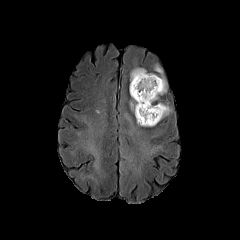
FLAIR magnetic resonance.
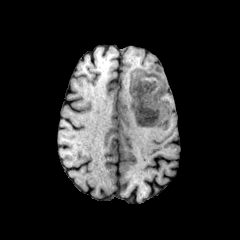
T1-weighted MR image of the same slice.
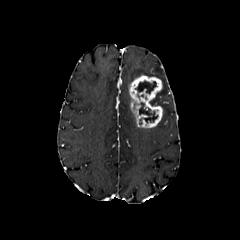
Post-contrast T1-weighted MR image of the same slice.
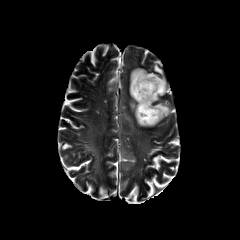
T2-weighted MR of the same slice.
Head, Image size 240x240
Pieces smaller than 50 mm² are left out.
enhancing tumor = box(129, 75, 162, 127)
necrotic tumor core = box(139, 102, 157, 122); box(135, 81, 156, 93)
peritumoral edema = box(155, 103, 171, 118); box(130, 65, 166, 104)